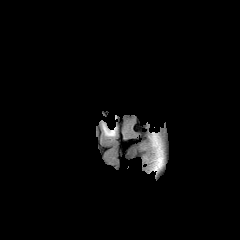
FLAIR magnetic resonance.
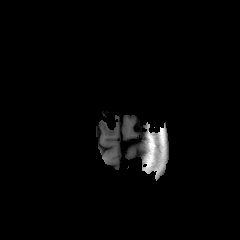
T1-weighted MR image.
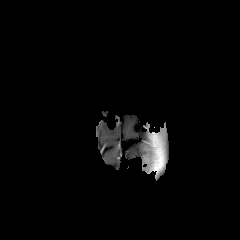
Post-contrast T1-weighted MR image of the same slice.
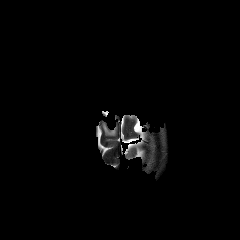
Same slice, T2-weighted MRI.
Axial view; Image size 240x240
The peritumoral edema lies within <box>102,123,116,136</box>.